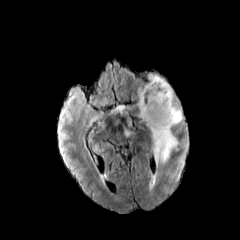
FLAIR magnetic resonance.
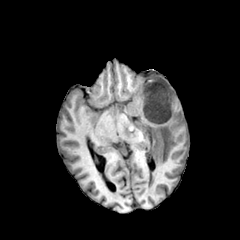
T1-weighted magnetic resonance.
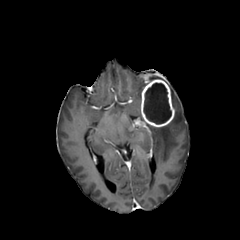
Same slice, post-contrast T1-weighted MRI.
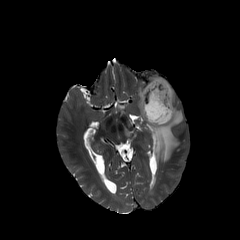
T2-weighted MR image of the same slice.
Axial slice, Head
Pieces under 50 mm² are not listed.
enhancing tumor: 140:79:174:127
peritumoral edema: 138:89:142:117, 147:88:182:164
necrotic tumor core: 144:83:171:123